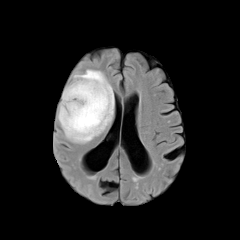
FLAIR magnetic resonance.
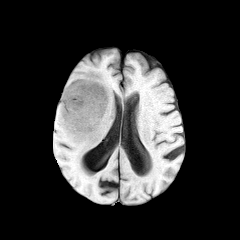
T1-weighted MR image.
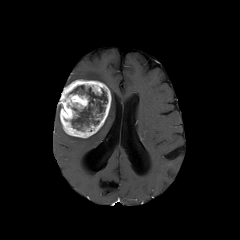
Post-contrast T1-weighted MR.
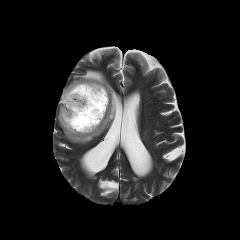
T2-weighted MR of the same slice.
Axial plane
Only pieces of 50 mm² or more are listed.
<segmentation>
  <necrotic_tumor_core>70,85,107,129</necrotic_tumor_core>
  <enhancing_tumor>59,79,111,138</enhancing_tumor>
  <peritumoral_edema>64,69,114,143</peritumoral_edema>
</segmentation>